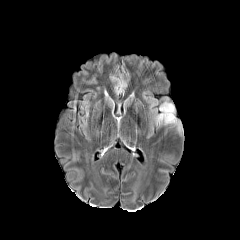
FLAIR MR image.
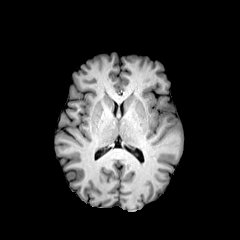
T1-weighted MR.
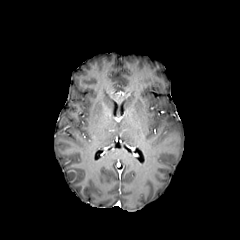
Post-contrast T1-weighted MR.
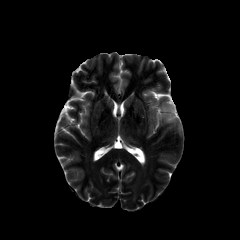
T2-weighted magnetic resonance of the same slice.
peritumoral_edema:
  - 156 102 180 130